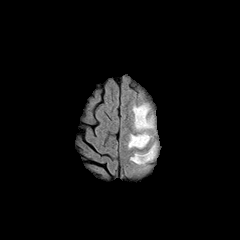
FLAIR MRI.
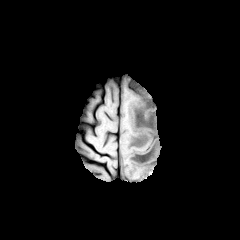
T1-weighted MR of the same slice.
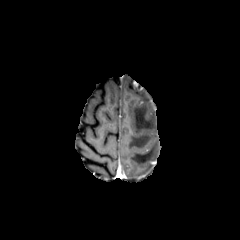
Same slice, post-contrast T1-weighted MR image.
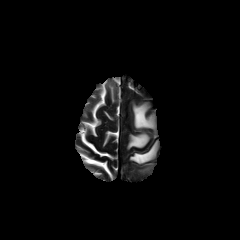
T2-weighted magnetic resonance.
Head
Annotated regions:
• peritumoral edema: l=130, t=142, r=157, b=164; l=128, t=103, r=155, b=148